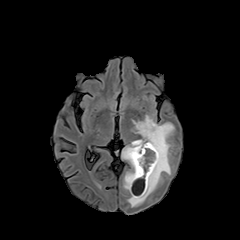
FLAIR MRI.
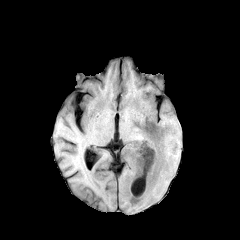
T1-weighted MR.
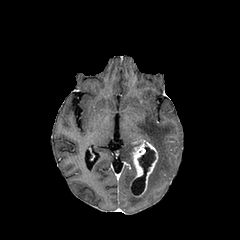
Post-contrast T1-weighted MRI.
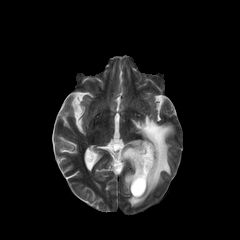
T2-weighted MRI.
Head.
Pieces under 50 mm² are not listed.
* peritumoral edema: 121, 115, 174, 206
* enhancing tumor: 131, 140, 158, 196
* necrotic tumor core: 132, 147, 155, 195